Axial slice.
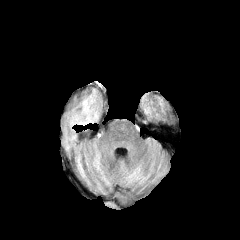
FLAIR MR image.
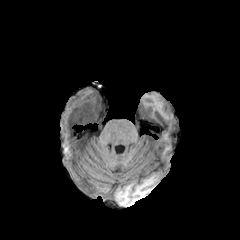
Same slice, T1-weighted magnetic resonance.
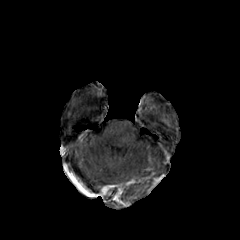
Post-contrast T1-weighted MR image.
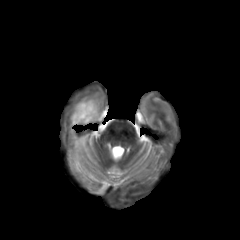
T2-weighted MR.
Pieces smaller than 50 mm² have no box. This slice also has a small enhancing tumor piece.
<segmentation>
  <necrotic_tumor_core><box>73,109,89,125</box></necrotic_tumor_core>
  <peritumoral_edema><box>65,133,76,148</box>, <box>70,90,100,125</box></peritumoral_edema>
</segmentation>